Axial plane. Head. 240x240. Image width 240 mm, 1.00 mm slice spacing.
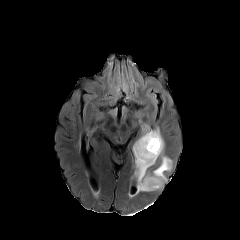
FLAIR magnetic resonance.
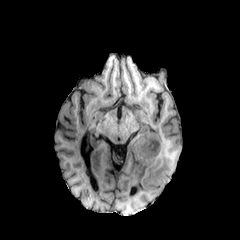
T1-weighted magnetic resonance of the same slice.
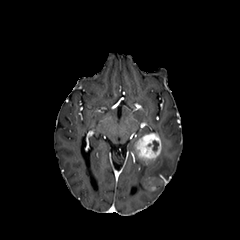
Post-contrast T1-weighted MRI of the same slice.
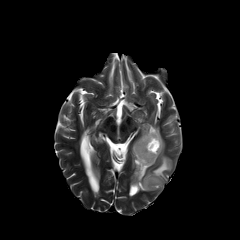
T2-weighted MR.
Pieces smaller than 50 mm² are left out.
2 enhancing tumor regions are located at bbox(135, 132, 161, 164); bbox(145, 177, 163, 190). The 2 largest peritumoral edema regions are bounded by bbox(133, 144, 171, 191); bbox(153, 128, 164, 156). The largest necrotic tumor core region is at bbox(152, 140, 158, 151).